Brain
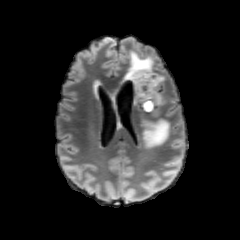
FLAIR MRI.
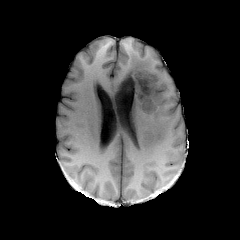
T1-weighted MR image of the same slice.
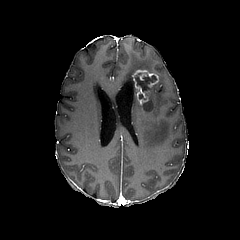
Same slice, post-contrast T1-weighted MR image.
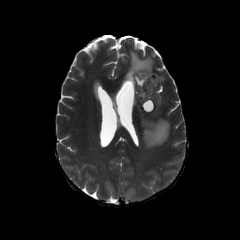
T2-weighted MR.
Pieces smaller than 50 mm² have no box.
The 3 largest peritumoral edema regions are located at box=[151, 73, 164, 104]; box=[143, 120, 169, 147]; box=[123, 50, 155, 81]. The enhancing tumor is bounded by box=[129, 69, 158, 106]. The 2 largest necrotic tumor core regions are located at box=[143, 101, 153, 111]; box=[135, 75, 156, 92].